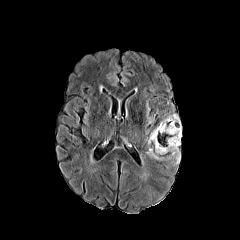
FLAIR magnetic resonance.
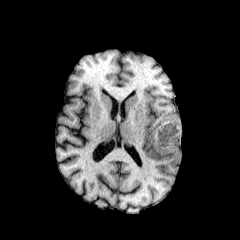
T1-weighted magnetic resonance.
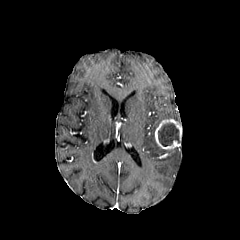
Post-contrast T1-weighted MRI.
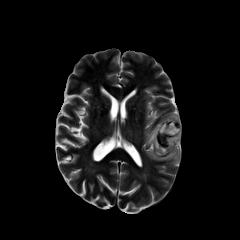
T2-weighted MR image.
Axial plane, Head, 240x240 px
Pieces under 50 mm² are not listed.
{"necrotic_tumor_core": ["[158,123,179,146]"], "enhancing_tumor": ["[155,119,181,149]"], "peritumoral_edema": ["[148,130,180,164]", "[165,114,180,122]"]}